Brain; Axial slice
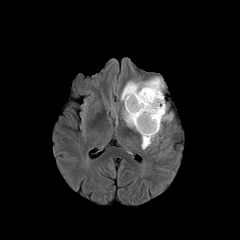
FLAIR MRI.
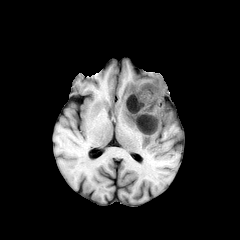
T1-weighted MR.
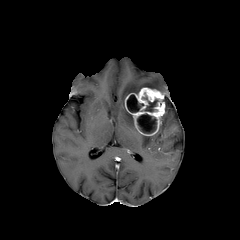
Post-contrast T1-weighted MRI of the same slice.
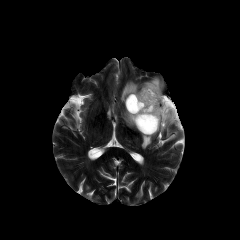
T2-weighted MR image.
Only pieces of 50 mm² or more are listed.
peritumoral edema: bounding box [x1=120, y1=77, x2=164, y2=127], [x1=161, y1=113, x2=172, y2=120], [x1=141, y1=131, x2=158, y2=149]
necrotic tumor core: bounding box [x1=137, y1=114, x2=156, y2=133], [x1=144, y1=99, x2=157, y2=111], [x1=127, y1=94, x2=143, y2=112]
enhancing tumor: bounding box [x1=125, y1=87, x2=165, y2=135]